Slice index 132; Image size 240x240
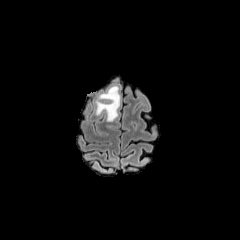
FLAIR MRI.
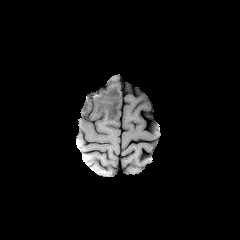
T1-weighted MRI.
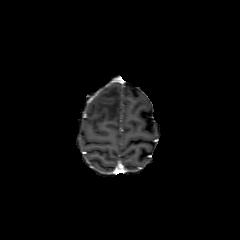
Post-contrast T1-weighted MR.
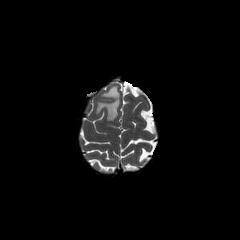
T2-weighted MRI.
peritumoral edema = box=[95, 85, 120, 121]